240x240 px. Axial view.
FLAIR MR.
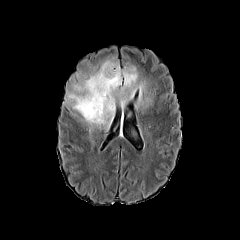
T1-weighted MR.
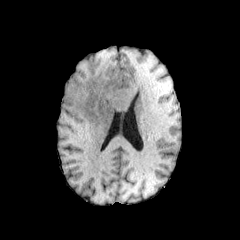
Post-contrast T1-weighted MR.
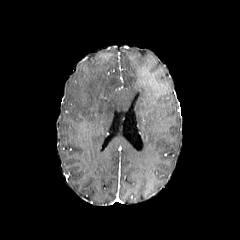
T2-weighted magnetic resonance.
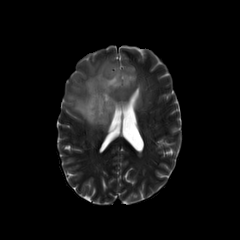
The peritumoral edema is bounded by (65,59,152,126).